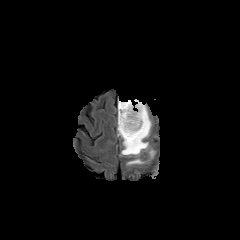
FLAIR magnetic resonance.
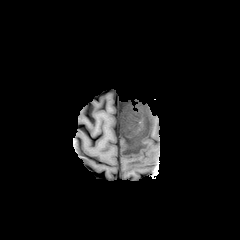
T1-weighted MR image of the same slice.
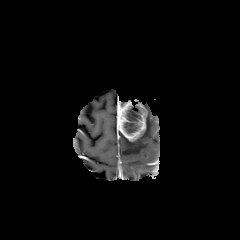
Post-contrast T1-weighted MR.
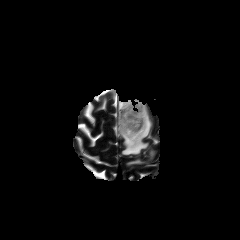
T2-weighted magnetic resonance.
Axial slice
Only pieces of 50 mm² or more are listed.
necrotic tumor core at rect(124, 105, 140, 133)
peritumoral edema at rect(117, 101, 155, 158); rect(126, 158, 145, 165)
enhancing tumor at rect(118, 99, 147, 141)